FLAIR MR.
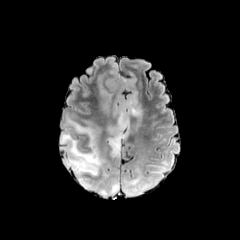
T1-weighted magnetic resonance.
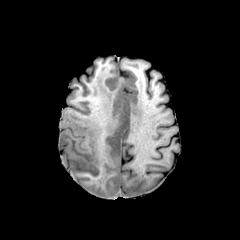
Post-contrast T1-weighted MR.
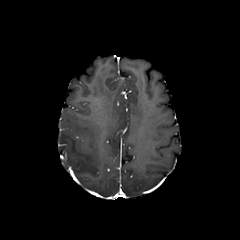
T2-weighted magnetic resonance.
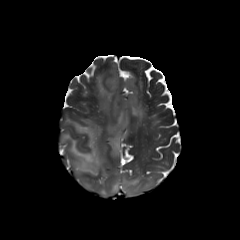
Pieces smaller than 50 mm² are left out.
Findings:
• peritumoral edema: box=[107, 92, 142, 158]; box=[122, 171, 153, 195]; box=[60, 118, 119, 196]; box=[101, 89, 110, 109]